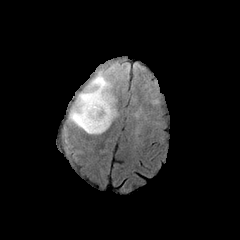
FLAIR MRI.
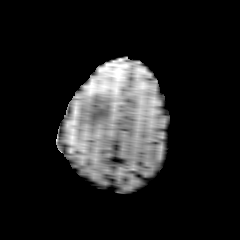
Same slice, T1-weighted magnetic resonance.
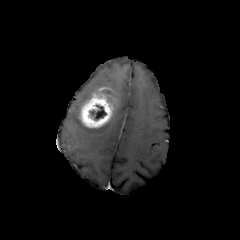
Post-contrast T1-weighted MR.
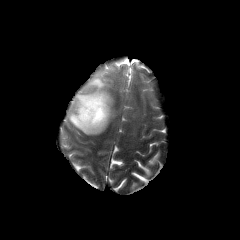
T2-weighted MR of the same slice.
Brain, Image size 240x240
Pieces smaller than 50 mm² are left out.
The largest peritumoral edema region lies within l=68, t=71, r=117, b=134. The enhancing tumor is at l=78, t=87, r=116, b=128. The largest necrotic tumor core region appears at l=96, t=107, r=105, b=118.